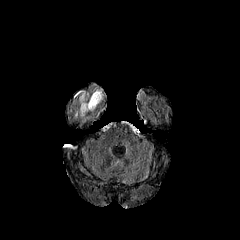
FLAIR MR image.
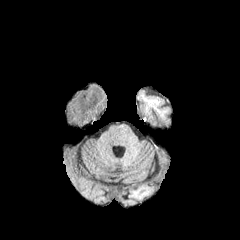
T1-weighted magnetic resonance.
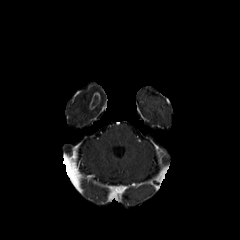
Post-contrast T1-weighted MRI.
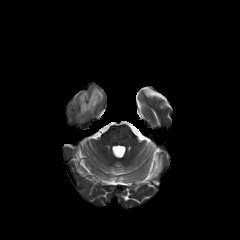
T2-weighted magnetic resonance of the same slice.
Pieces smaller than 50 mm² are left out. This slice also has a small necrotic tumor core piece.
The peritumoral edema is at x1=75, y1=88, x2=103, y2=117. The enhancing tumor is bounded by x1=89, y1=92, x2=100, y2=109.